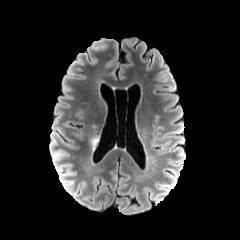
FLAIR MR image.
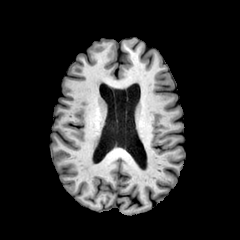
T1-weighted MRI.
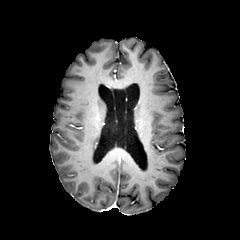
Post-contrast T1-weighted MR.
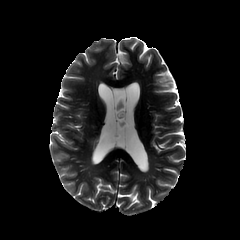
T2-weighted MR.
240x240
peritumoral edema = rect(91, 136, 98, 149)